FLAIR magnetic resonance.
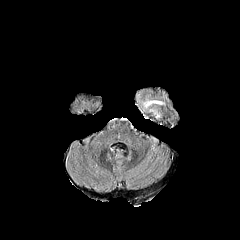
T1-weighted MRI.
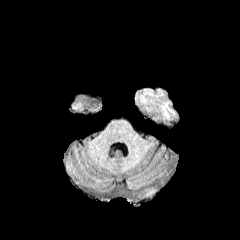
Post-contrast T1-weighted MRI.
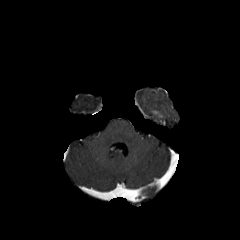
T2-weighted MRI.
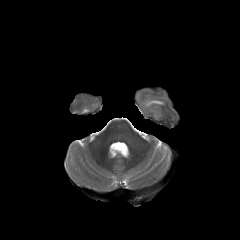
Axial slice, Head
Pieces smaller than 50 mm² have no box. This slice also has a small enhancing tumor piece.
The peritumoral edema appears at [136,88,173,122].